Image width 240 mm, 1.00 mm slice spacing, Image size 240x240, Axial plane, Brain
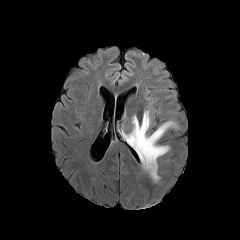
FLAIR MR image.
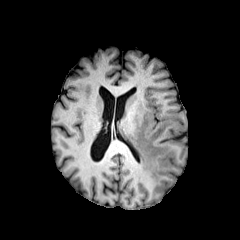
T1-weighted MR image of the same slice.
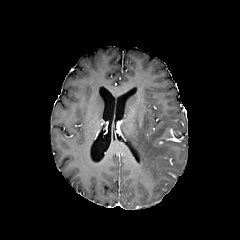
Post-contrast T1-weighted magnetic resonance.
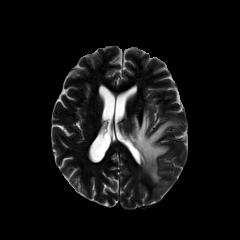
T2-weighted magnetic resonance.
peritumoral edema: bounding box [124, 110, 177, 182]